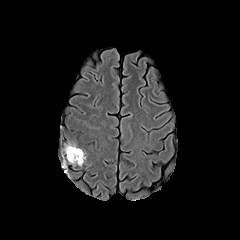
FLAIR magnetic resonance.
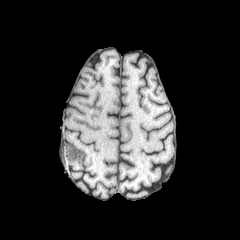
T1-weighted MR.
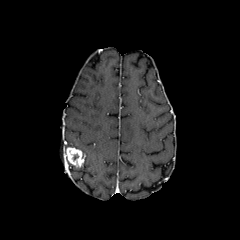
Post-contrast T1-weighted MRI.
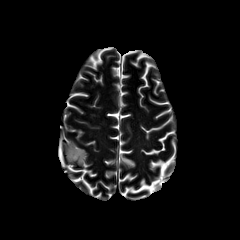
Same slice, T2-weighted MR.
Axial plane, 240x240 px
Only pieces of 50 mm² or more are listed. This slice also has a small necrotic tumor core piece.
peritumoral edema = 64:143:79:153
enhancing tumor = 66:147:84:166